FLAIR MR image.
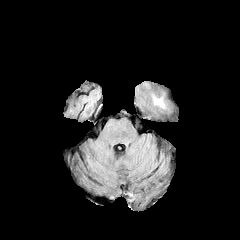
T1-weighted MRI.
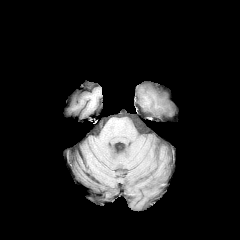
Post-contrast T1-weighted MR.
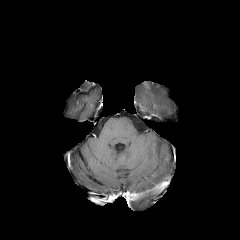
T2-weighted MR.
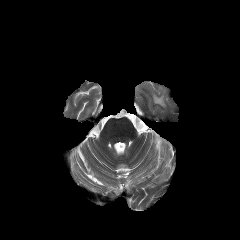
Head
The peritumoral edema lies within l=152, t=94, r=165, b=108.